Axial view; Image width 240 mm, 1.00 mm slice spacing
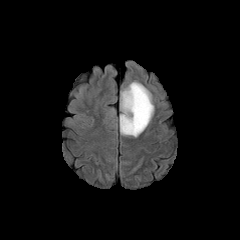
FLAIR magnetic resonance.
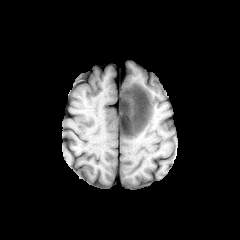
T1-weighted MR of the same slice.
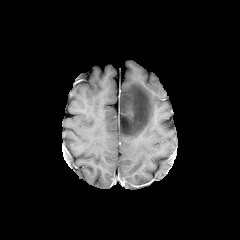
Post-contrast T1-weighted MR image.
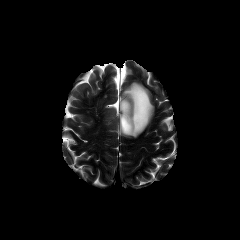
T2-weighted MR image.
The peritumoral edema is bounded by (x1=120, y1=81, x2=154, y2=137).